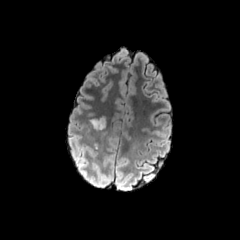
FLAIR MR image.
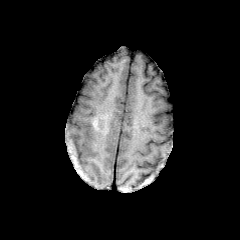
Same slice, T1-weighted MR image.
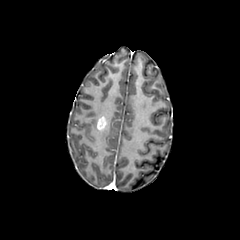
Post-contrast T1-weighted magnetic resonance of the same slice.
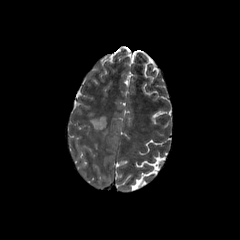
T2-weighted MR image.
Head.
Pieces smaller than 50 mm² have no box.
enhancing tumor: [96,116,107,131] | peritumoral edema: [90,119,97,130]